Slice 99 of 155 | Axial view | Head
FLAIR MRI.
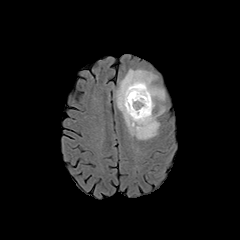
T1-weighted MR.
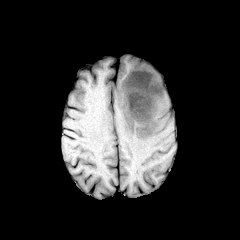
Post-contrast T1-weighted magnetic resonance.
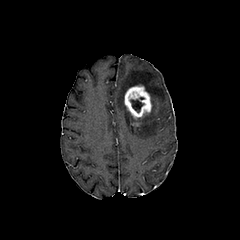
T2-weighted MR.
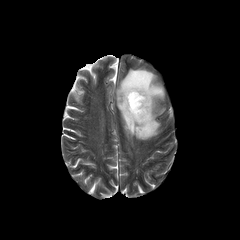
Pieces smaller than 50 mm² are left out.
Annotated regions:
- necrotic tumor core: box(130, 99, 143, 112)
- peritumoral edema: box(116, 69, 165, 139)
- enhancing tumor: box(124, 84, 152, 119)